240x240, Axial view
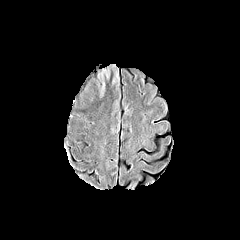
FLAIR MR image.
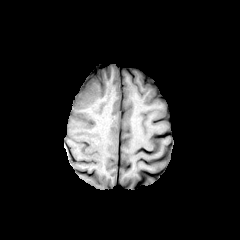
T1-weighted MR of the same slice.
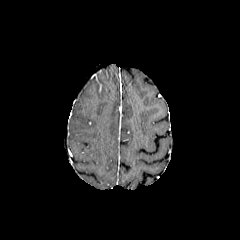
Post-contrast T1-weighted magnetic resonance of the same slice.
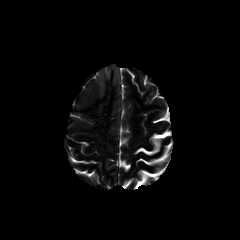
Same slice, T2-weighted MR image.
peritumoral edema at (left=80, top=64, right=119, bottom=100)